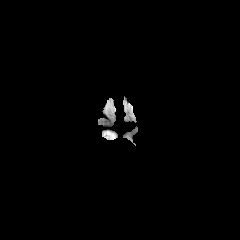
FLAIR MR.
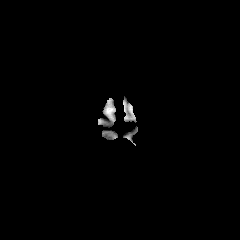
Same slice, T1-weighted MRI.
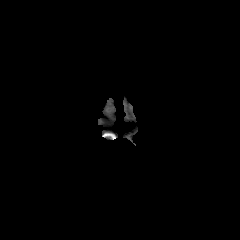
Post-contrast T1-weighted MR.
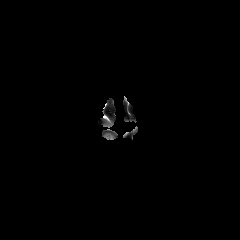
Same slice, T2-weighted magnetic resonance.
Brain, Axial view
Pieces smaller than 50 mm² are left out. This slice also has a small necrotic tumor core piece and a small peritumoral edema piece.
{"enhancing_tumor": ["103:133:115:139"]}